FLAIR MR image.
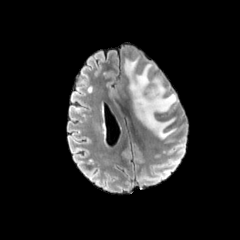
T1-weighted MR.
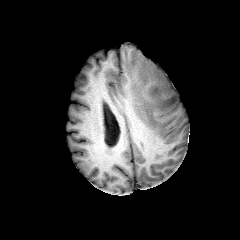
Post-contrast T1-weighted MR.
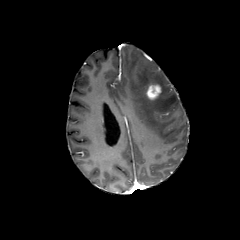
T2-weighted MRI.
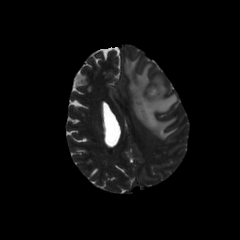
Axial slice, 240x240
{"peritumoral_edema": ["<bbox>124, 56, 178, 139</bbox>"], "enhancing_tumor": ["<bbox>146, 84, 161, 99</bbox>"]}